Brain
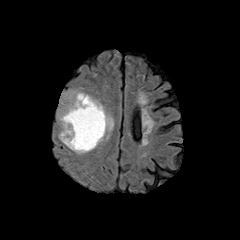
FLAIR magnetic resonance.
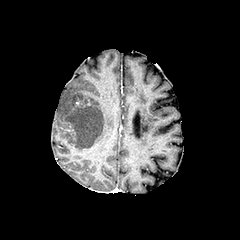
Same slice, T1-weighted MR image.
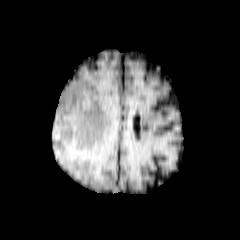
Post-contrast T1-weighted MRI.
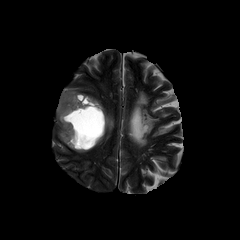
Same slice, T2-weighted magnetic resonance.
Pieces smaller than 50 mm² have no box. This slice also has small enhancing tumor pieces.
Segmented structures:
* peritumoral edema: (57,89,113,153)
* necrotic tumor core: (62,102,105,149)